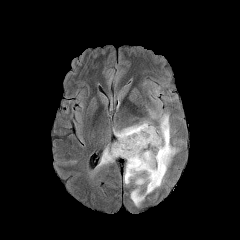
FLAIR MR.
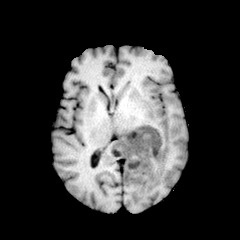
T1-weighted MR image of the same slice.
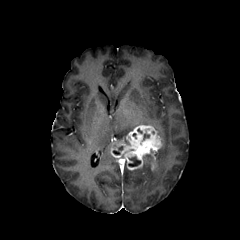
Post-contrast T1-weighted magnetic resonance.
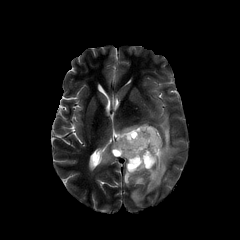
T2-weighted magnetic resonance.
Axial slice
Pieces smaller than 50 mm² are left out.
peritumoral edema: bounding box region(99, 146, 114, 165); region(114, 122, 149, 140); region(124, 114, 176, 205)
necrotic tumor core: bounding box region(128, 156, 140, 166)
enhancing tumor: bounding box region(110, 125, 162, 170)